FLAIR MRI.
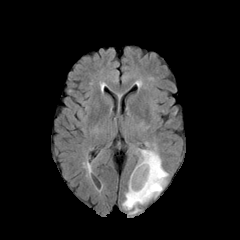
T1-weighted MR.
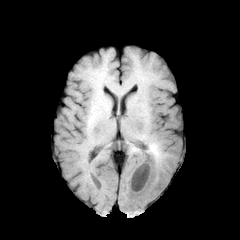
Post-contrast T1-weighted MR image.
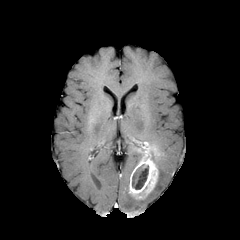
T2-weighted MRI.
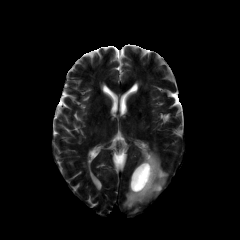
Head; Axial plane
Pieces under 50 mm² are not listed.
necrotic tumor core at left=132, top=165, right=148, bottom=189
enhancing tumor at left=129, top=141, right=158, bottom=199
peritumoral edema at left=122, top=144, right=168, bottom=213